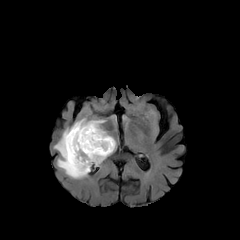
FLAIR MR image.
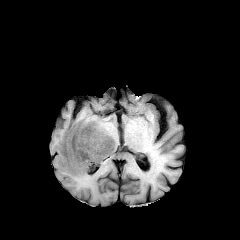
Same slice, T1-weighted MRI.
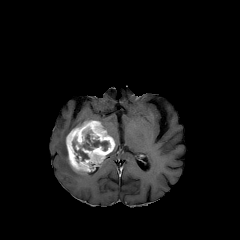
Post-contrast T1-weighted MR.
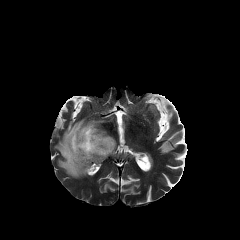
T2-weighted magnetic resonance.
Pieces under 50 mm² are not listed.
peritumoral edema: [54, 118, 105, 178] | enhancing tumor: [66, 120, 115, 173] | necrotic tumor core: [73, 126, 110, 162]